Slice 93/155 | Image width 240 mm, 1.00 mm slice spacing | 240x240 | Brain
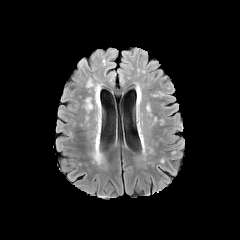
FLAIR MRI.
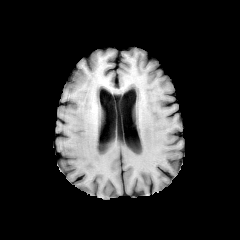
Same slice, T1-weighted MRI.
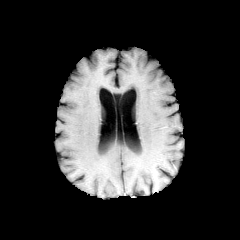
Post-contrast T1-weighted magnetic resonance.
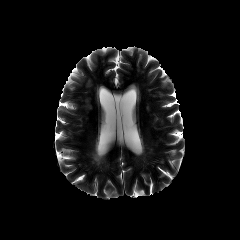
Same slice, T2-weighted MRI.
Findings:
- peritumoral edema: region(93, 130, 102, 163)